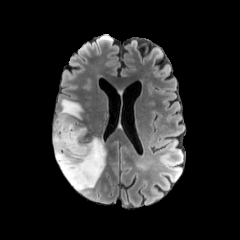
FLAIR magnetic resonance.
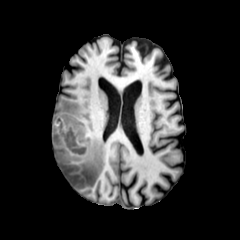
T1-weighted magnetic resonance.
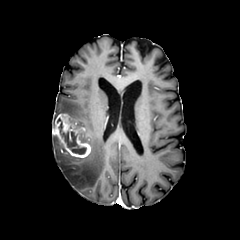
Post-contrast T1-weighted MRI of the same slice.
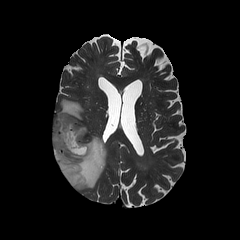
T2-weighted magnetic resonance of the same slice.
Axial plane | Head
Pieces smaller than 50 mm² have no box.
enhancing tumor: x1=52, y1=113, x2=91, y2=157
necrotic tumor core: x1=61, y1=130, x2=86, y2=154
peritumoral edema: x1=52, y1=99, x2=106, y2=191